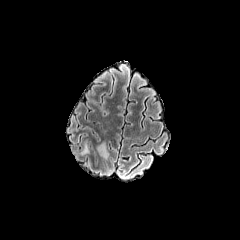
FLAIR MRI.
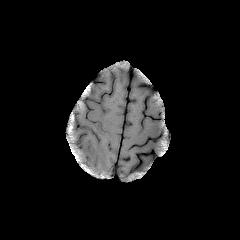
T1-weighted MR image.
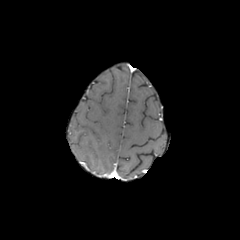
Post-contrast T1-weighted MR image.
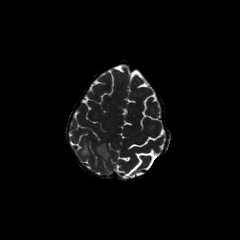
T2-weighted magnetic resonance.
Image size 240x240, Head
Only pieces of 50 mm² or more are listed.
peritumoral edema: l=97, t=142, r=108, b=158